FLAIR MR.
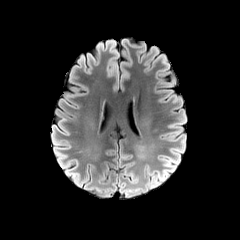
T1-weighted MRI.
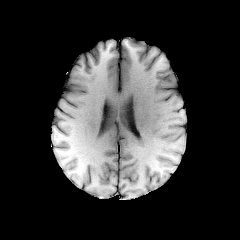
Post-contrast T1-weighted MRI.
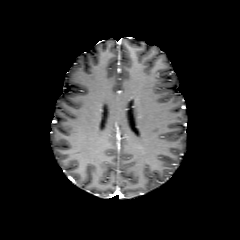
T2-weighted MRI.
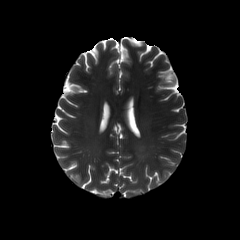
Head
<segmentation>
  <peritumoral_edema>159:157:175:180</peritumoral_edema>
</segmentation>